Axial slice
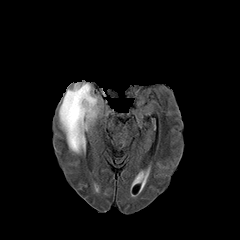
FLAIR MR.
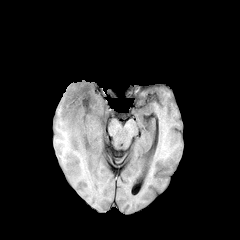
Same slice, T1-weighted MR image.
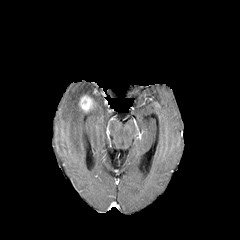
Post-contrast T1-weighted MR of the same slice.
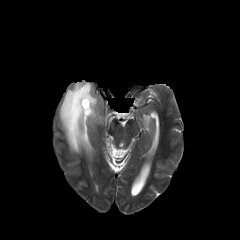
T2-weighted MR image of the same slice.
<segmentation>
  <enhancing_tumor>78 95 95 113</enhancing_tumor>
  <peritumoral_edema>59 82 100 153</peritumoral_edema>
</segmentation>